Axial view, Slice 121/155
FLAIR MR.
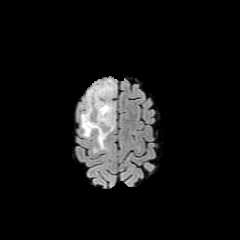
T1-weighted MR.
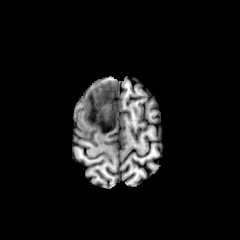
Post-contrast T1-weighted MR.
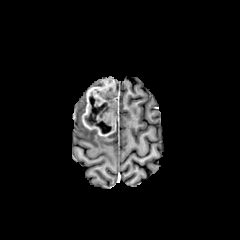
T2-weighted MR image.
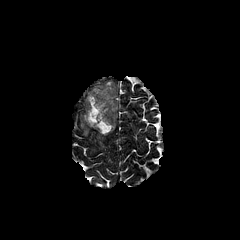
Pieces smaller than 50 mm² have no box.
necrotic tumor core: (x1=85, y1=95, x2=111, y2=133)
peritumoral edema: (x1=80, y1=112, x2=96, y2=137), (x1=96, y1=132, x2=107, y2=149)
enhancing tumor: (x1=82, y1=80, x2=116, y2=136)